240x240 | Head
FLAIR MR.
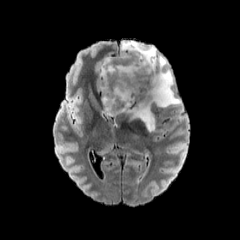
T1-weighted magnetic resonance.
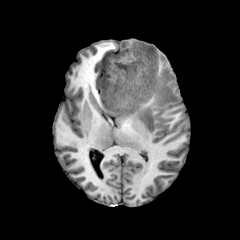
Post-contrast T1-weighted MR image.
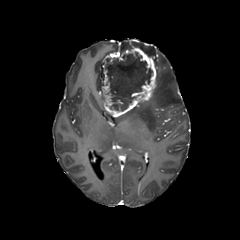
T2-weighted magnetic resonance.
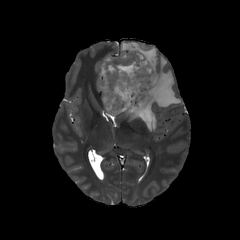
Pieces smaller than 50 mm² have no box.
enhancing_tumor:
  - (left=101, top=46, right=156, bottom=116)
necrotic_tumor_core:
  - (left=105, top=53, right=152, bottom=110)
peritumoral_edema:
  - (left=121, top=41, right=156, bottom=65)
  - (left=126, top=55, right=180, bottom=131)